FLAIR MR image.
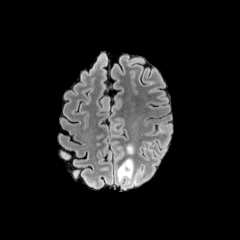
T1-weighted MRI.
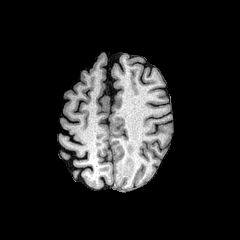
Post-contrast T1-weighted MRI.
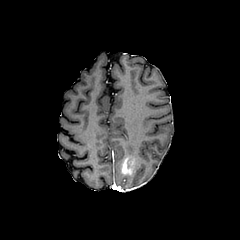
T2-weighted MR.
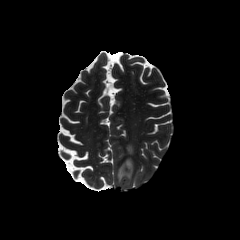
Brain. 240x240 px.
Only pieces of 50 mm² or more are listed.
Annotated regions:
• peritumoral edema: (117, 165, 132, 184)
• enhancing tumor: (121, 158, 133, 175)